240x240 px | Axial slice
FLAIR MR image.
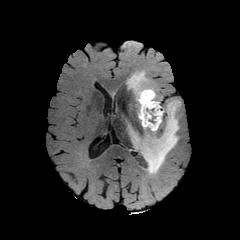
T1-weighted MR image.
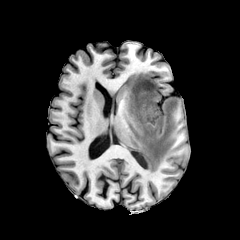
Post-contrast T1-weighted magnetic resonance.
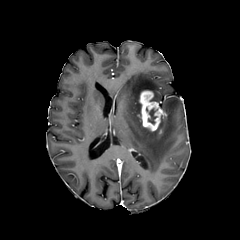
T2-weighted magnetic resonance.
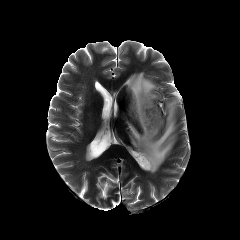
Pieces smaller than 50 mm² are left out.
The largest peritumoral edema region is bounded by x1=126 y1=71 x2=180 y2=173. The largest necrotic tumor core region lies within x1=148 y1=108 x2=157 y2=124. The enhancing tumor is located at x1=139 y1=90 x2=163 y2=131.